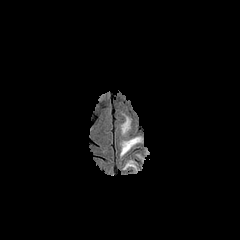
FLAIR MR image.
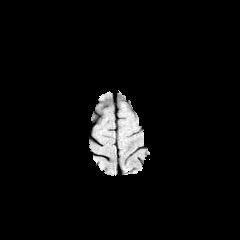
T1-weighted magnetic resonance of the same slice.
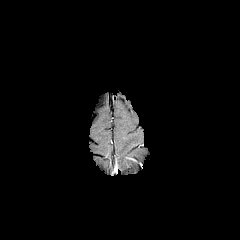
Post-contrast T1-weighted MR of the same slice.
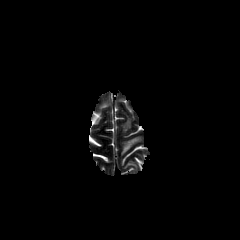
T2-weighted MR of the same slice.
Axial slice
3 peritumoral edema regions are located at 124, 160, 136, 169; 120, 136, 143, 156; 120, 114, 131, 135.